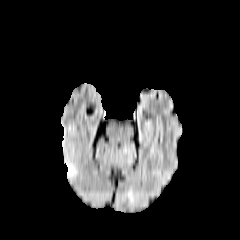
FLAIR MR image.
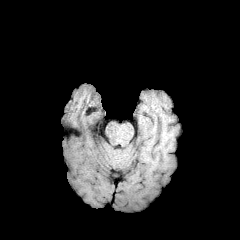
T1-weighted MRI.
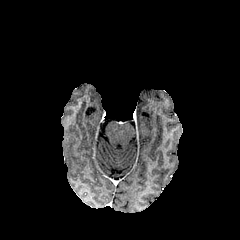
Post-contrast T1-weighted MRI.
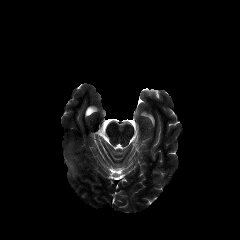
Same slice, T2-weighted MRI.
240x240 px.
peritumoral edema: bounding box 66:157:76:176